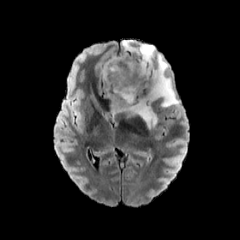
FLAIR MRI.
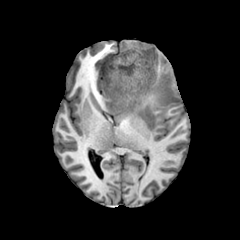
T1-weighted MR image.
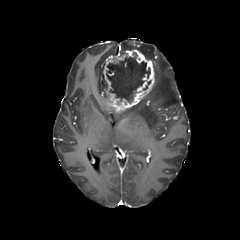
Post-contrast T1-weighted magnetic resonance.
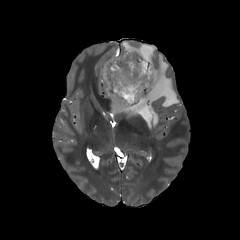
T2-weighted MRI.
Head | Axial view
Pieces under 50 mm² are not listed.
The largest necrotic tumor core region is at rect(107, 53, 150, 102). The largest enhancing tumor region appears at rect(103, 49, 155, 113). The 2 largest peritumoral edema regions are bounded by rect(125, 53, 179, 128); rect(121, 40, 155, 60).